Axial view. Image width 240 mm. Image size 240x240. Slice 74 of 155.
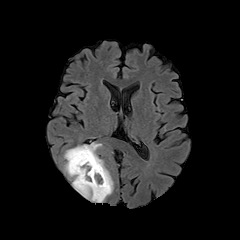
FLAIR MRI.
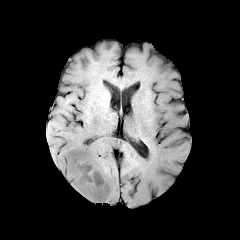
Same slice, T1-weighted MR.
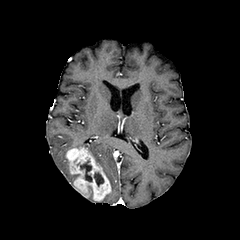
Same slice, post-contrast T1-weighted MR.
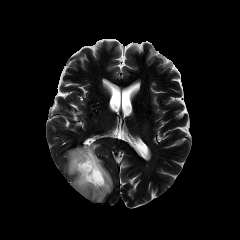
T2-weighted MR image.
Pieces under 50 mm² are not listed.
necrotic tumor core: <box>94,172,103,186</box>, <box>80,160,92,181</box> | peritumoral edema: <box>75,143,113,196</box>, <box>64,159,79,186</box>, <box>88,186,105,202</box> | enhancing tumor: <box>66,147,111,201</box>